Slice index 75 | Head | 240x240
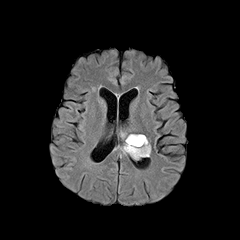
FLAIR MR image.
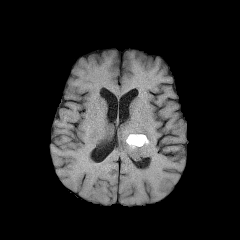
T1-weighted magnetic resonance.
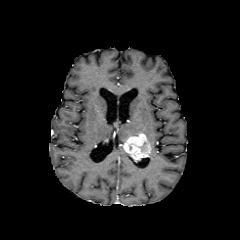
Post-contrast T1-weighted MRI.
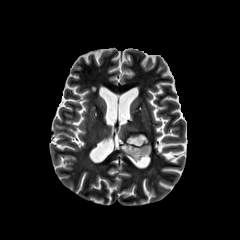
T2-weighted MR of the same slice.
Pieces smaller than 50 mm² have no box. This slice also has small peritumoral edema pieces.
enhancing tumor: bounding box {"x1": 123, "y1": 138, "x2": 150, "y2": 160}